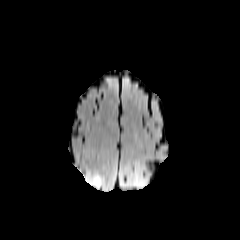
FLAIR magnetic resonance.
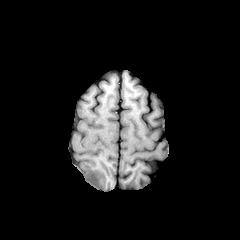
T1-weighted MR image of the same slice.
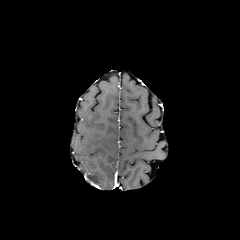
Post-contrast T1-weighted magnetic resonance.
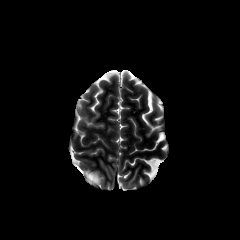
T2-weighted magnetic resonance.
Image size 240x240
peritumoral_edema:
  - [86,173,103,186]